Image width 240 mm
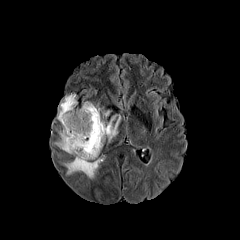
FLAIR magnetic resonance.
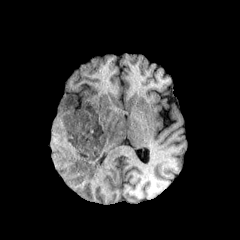
T1-weighted MRI.
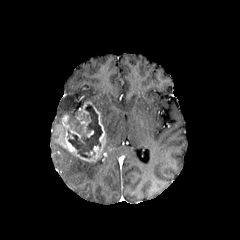
Post-contrast T1-weighted MR.
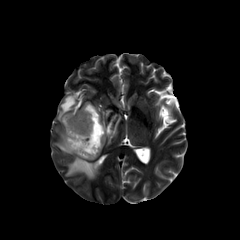
Same slice, T2-weighted MRI.
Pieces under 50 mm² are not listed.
The largest enhancing tumor region lies within box(59, 101, 106, 161). The 4 largest peritumoral edema regions appear at box(57, 94, 77, 122); box(96, 104, 120, 142); box(55, 142, 71, 153); box(64, 157, 101, 178). The largest necrotic tumor core region is bounded by box(67, 104, 102, 157).